Slice 68/155; Head; Image width 240 mm
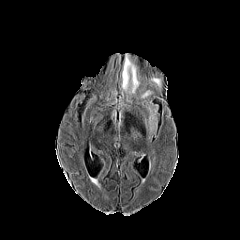
FLAIR MRI.
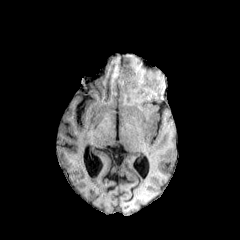
Same slice, T1-weighted magnetic resonance.
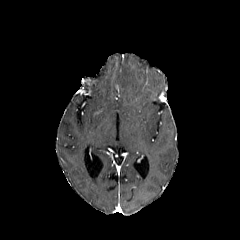
Post-contrast T1-weighted magnetic resonance.
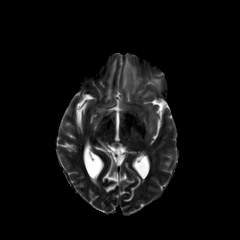
T2-weighted magnetic resonance.
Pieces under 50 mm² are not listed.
peritumoral edema = left=122, top=55, right=139, bottom=93; left=151, top=78, right=160, bottom=87